Image covers 240 mm x 240 mm, Axial plane
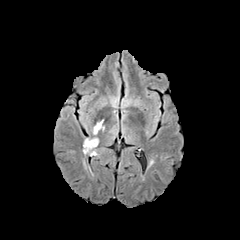
FLAIR MR image.
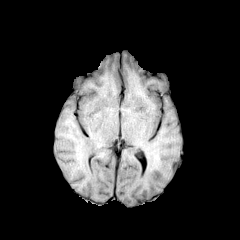
T1-weighted MR.
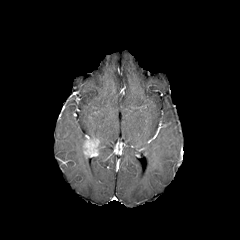
Post-contrast T1-weighted MR image.
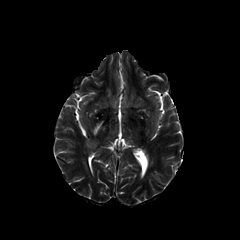
T2-weighted magnetic resonance.
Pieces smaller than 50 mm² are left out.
enhancing_tumor:
  - (left=84, top=139, right=98, bottom=155)
peritumoral_edema:
  - (left=93, top=120, right=104, bottom=134)